Slice 64 of 155. Brain.
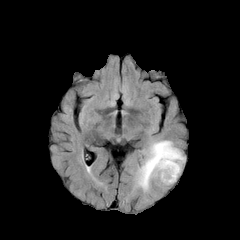
FLAIR MR.
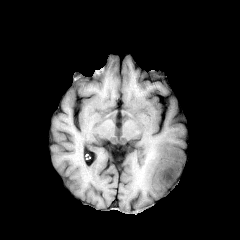
T1-weighted magnetic resonance.
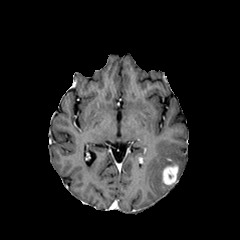
Post-contrast T1-weighted MR.
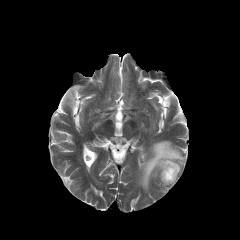
T2-weighted MRI.
enhancing tumor: 162:164:178:185
peritumoral edema: 138:140:185:190